FLAIR magnetic resonance.
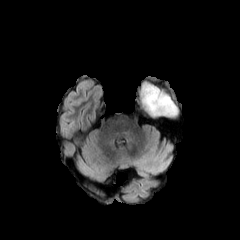
T1-weighted magnetic resonance.
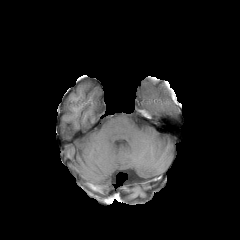
Post-contrast T1-weighted MRI.
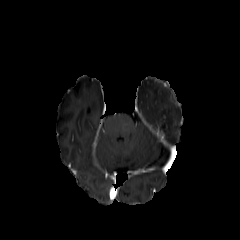
T2-weighted MR image.
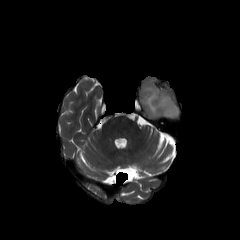
240x240, Head
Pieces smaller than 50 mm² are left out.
peritumoral edema: 141, 84, 177, 118